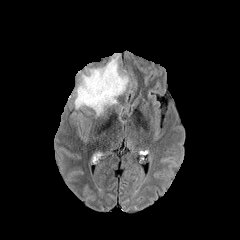
FLAIR MR.
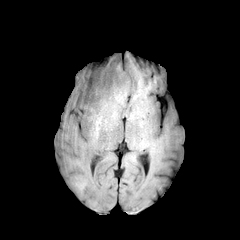
T1-weighted MRI of the same slice.
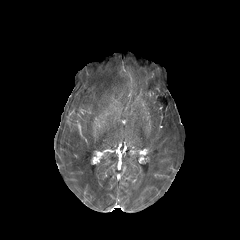
Same slice, post-contrast T1-weighted MRI.
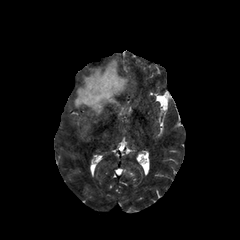
T2-weighted MRI.
Axial slice. Head.
The peritumoral edema lies within left=74, top=57, right=128, bottom=115.